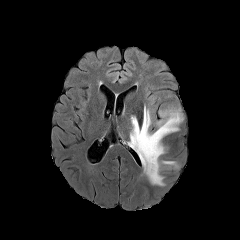
FLAIR MR.
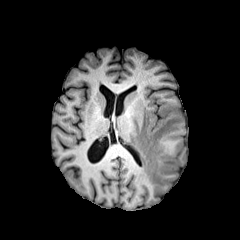
T1-weighted MRI of the same slice.
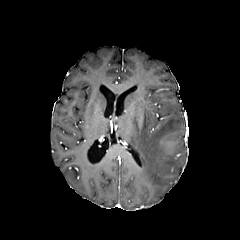
Post-contrast T1-weighted MR.
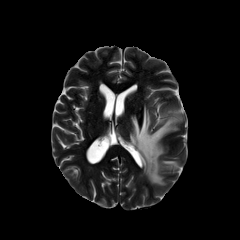
T2-weighted MR image.
Brain
The peritumoral edema is located at [128,106,182,185].